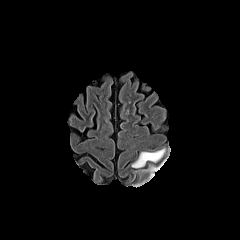
FLAIR MR.
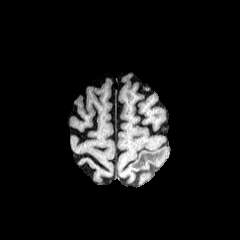
T1-weighted MR image of the same slice.
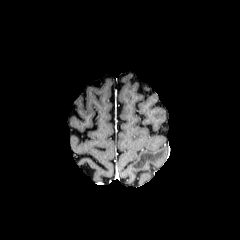
Post-contrast T1-weighted MR image of the same slice.
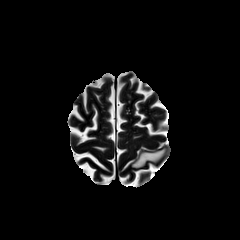
Same slice, T2-weighted MR.
240x240
Findings:
* peritumoral edema: left=132, top=148, right=165, bottom=168; left=147, top=160, right=165, bottom=178